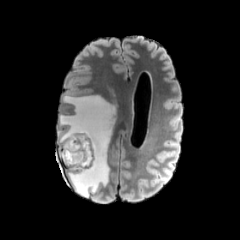
FLAIR MRI.
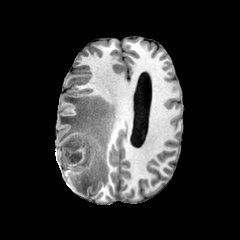
T1-weighted MR image.
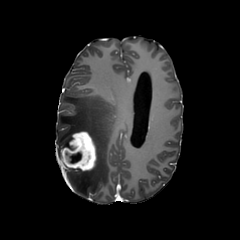
Same slice, post-contrast T1-weighted MRI.
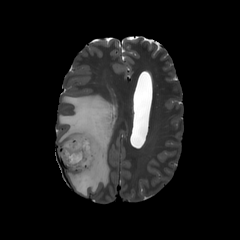
T2-weighted MR image.
Head
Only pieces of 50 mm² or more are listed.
enhancing tumor = 60:130:96:171
peritumoral edema = 57:95:116:196
necrotic tumor core = 69:152:81:163